Brain; Image covers 240 mm x 240 mm
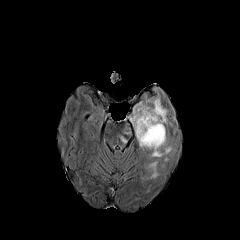
FLAIR magnetic resonance.
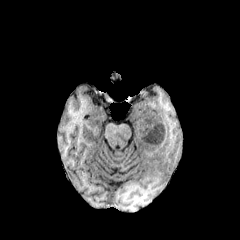
T1-weighted magnetic resonance.
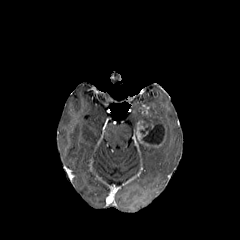
Same slice, post-contrast T1-weighted MR.
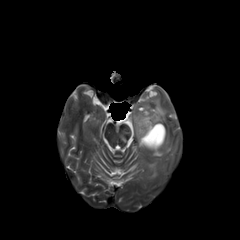
Same slice, T2-weighted magnetic resonance.
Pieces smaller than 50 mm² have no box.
peritumoral edema — box(123, 122, 131, 135); box(147, 161, 158, 178); box(139, 137, 172, 157); box(128, 97, 167, 136)
enhancing tumor — box(136, 121, 163, 147)
necrotic tumor core — box(139, 120, 165, 145)